Slice index 97. Head. Image covers 240 mm x 240 mm.
FLAIR MR image.
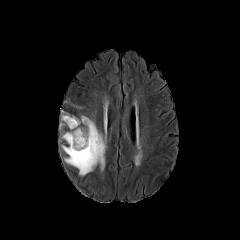
T1-weighted magnetic resonance.
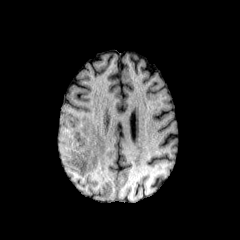
Post-contrast T1-weighted MR image.
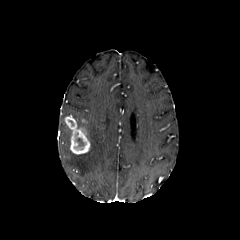
T2-weighted magnetic resonance.
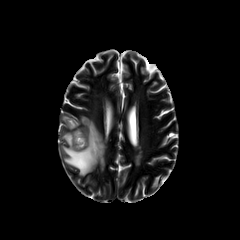
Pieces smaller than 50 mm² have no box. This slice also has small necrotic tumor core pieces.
peritumoral edema: bounding box 61:115:106:176, 61:111:69:126
enhancing tumor: bounding box 64:115:90:154